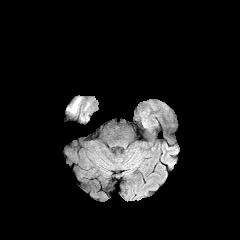
FLAIR magnetic resonance.
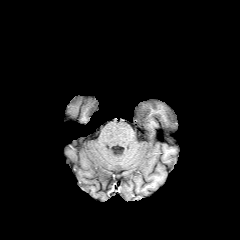
Same slice, T1-weighted MRI.
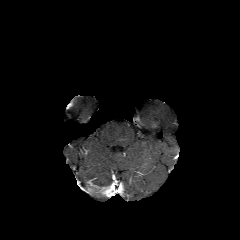
Same slice, post-contrast T1-weighted MR.
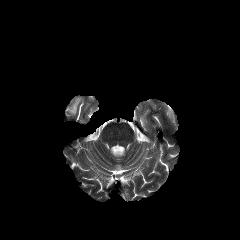
T2-weighted magnetic resonance.
Head
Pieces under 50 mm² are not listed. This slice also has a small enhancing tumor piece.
The largest peritumoral edema region is at 67 97 82 114.